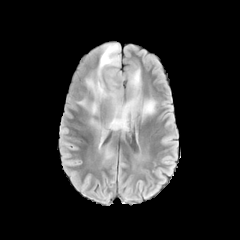
FLAIR magnetic resonance.
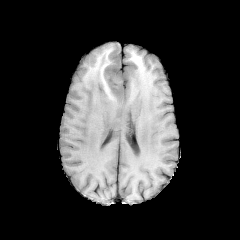
T1-weighted MRI.
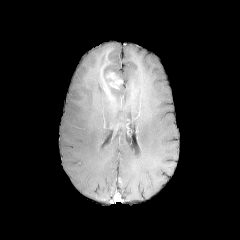
Post-contrast T1-weighted MR.
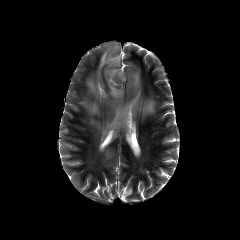
Same slice, T2-weighted MRI.
enhancing tumor: (left=104, top=69, right=122, bottom=89)
peritumoral edema: (left=102, top=147, right=113, bottom=161), (left=75, top=43, right=157, bottom=146)